FLAIR MRI.
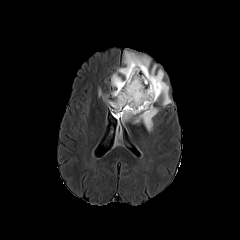
T1-weighted MR.
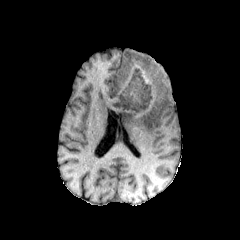
Post-contrast T1-weighted MR.
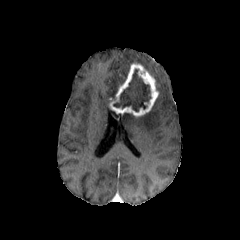
T2-weighted MR image.
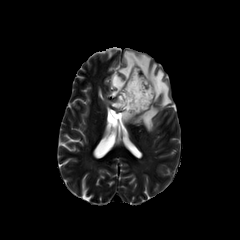
240x240 px | Axial slice
<segmentation>
  <peritumoral_edema>110:50:172:106, 123:106:159:131, 103:95:111:107</peritumoral_edema>
  <necrotic_tumor_core>113:69:150:111</necrotic_tumor_core>
  <enhancing_tumor>109:62:159:116</enhancing_tumor>
</segmentation>